Image size 240x240. Head.
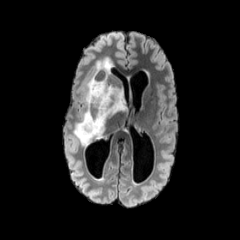
FLAIR MRI.
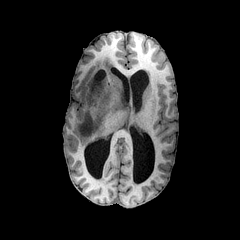
T1-weighted MRI of the same slice.
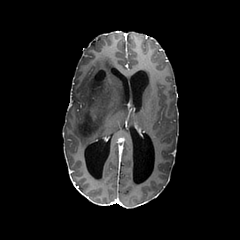
Same slice, post-contrast T1-weighted MR.
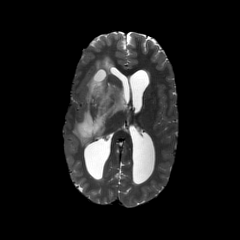
Same slice, T2-weighted MRI.
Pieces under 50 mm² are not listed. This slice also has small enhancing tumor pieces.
peritumoral edema: left=73, top=57, right=127, bottom=147
necrotic tumor core: left=95, top=71, right=104, bottom=80